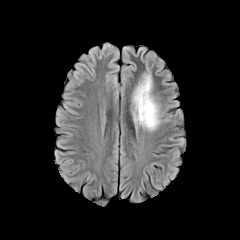
FLAIR MR.
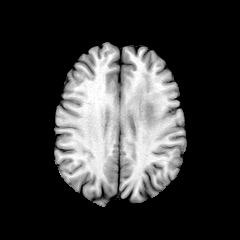
T1-weighted MR.
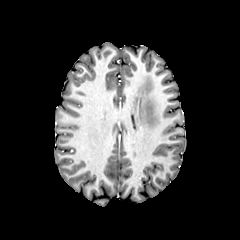
Post-contrast T1-weighted MR of the same slice.
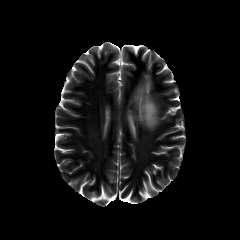
T2-weighted MRI.
Axial slice
peritumoral edema: bounding box 133, 75, 159, 130